FLAIR magnetic resonance.
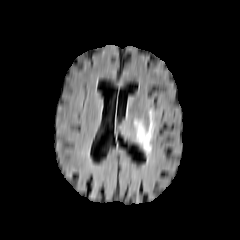
T1-weighted MRI.
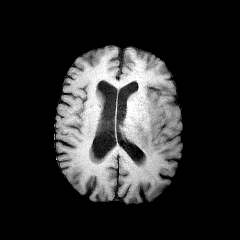
Post-contrast T1-weighted MR image.
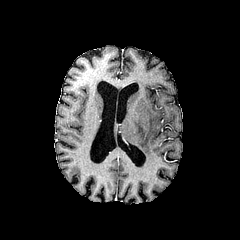
T2-weighted magnetic resonance.
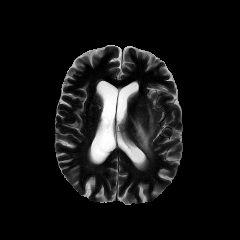
Axial plane; Image size 240x240; Brain
The peritumoral edema is located at bbox=[134, 109, 155, 156].